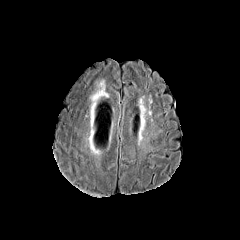
FLAIR MRI.
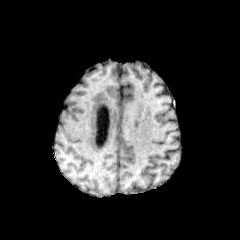
T1-weighted magnetic resonance.
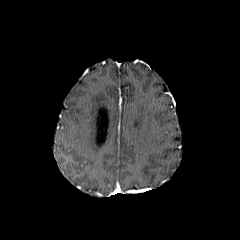
Same slice, post-contrast T1-weighted MR.
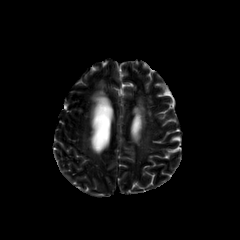
T2-weighted MRI of the same slice.
Axial plane | 240x240 px | Head
The peritumoral edema appears at box=[91, 80, 107, 101].